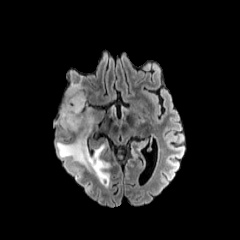
FLAIR MRI.
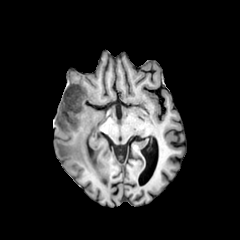
Same slice, T1-weighted MR image.
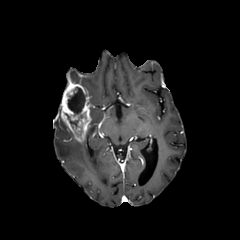
Post-contrast T1-weighted magnetic resonance of the same slice.
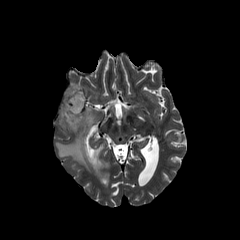
T2-weighted magnetic resonance of the same slice.
Image size 240x240; Brain; Axial plane
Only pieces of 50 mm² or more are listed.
necrotic tumor core — l=65, t=114, r=77, b=127; l=68, t=87, r=86, b=114
peritumoral edema — l=88, t=112, r=94, b=131; l=56, t=140, r=109, b=179
enhancing tumor — l=60, t=82, r=91, b=142